Image size 240x240, Axial view, Brain
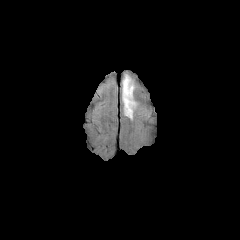
FLAIR MR image.
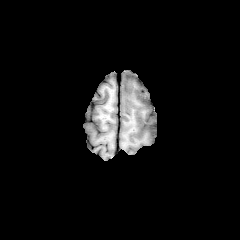
T1-weighted MRI of the same slice.
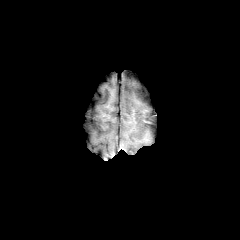
Post-contrast T1-weighted magnetic resonance of the same slice.
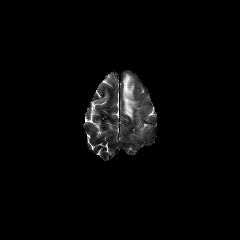
T2-weighted magnetic resonance.
The peritumoral edema lies within <bbox>122, 74, 136, 118</bbox>.